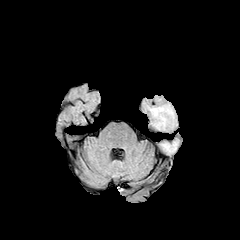
FLAIR magnetic resonance.
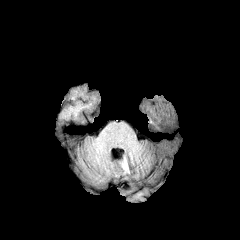
T1-weighted magnetic resonance.
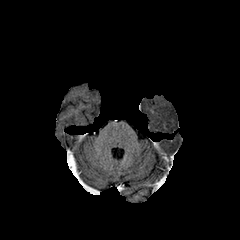
Same slice, post-contrast T1-weighted MR.
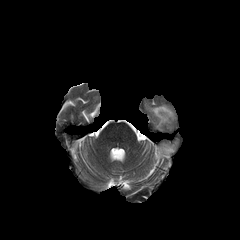
Same slice, T2-weighted MR image.
Head. Axial plane.
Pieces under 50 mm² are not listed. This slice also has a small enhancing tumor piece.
2 peritumoral edema regions are located at (left=148, top=105, right=174, bottom=129), (left=161, top=143, right=176, bottom=152).